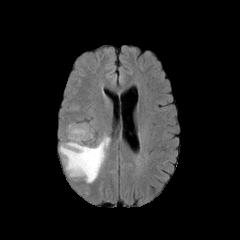
FLAIR MRI.
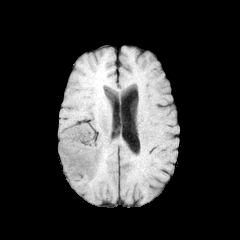
T1-weighted MR of the same slice.
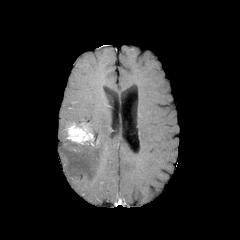
Post-contrast T1-weighted MRI of the same slice.
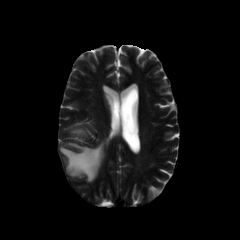
T2-weighted MR image.
Axial view; Brain
Segmented structures:
- peritumoral edema: [x1=59, y1=135, x2=110, y2=183]
- enhancing tumor: [x1=67, y1=123, x2=94, y2=144]